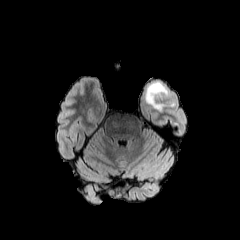
FLAIR MR image.
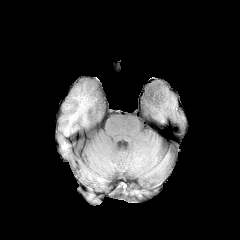
T1-weighted magnetic resonance.
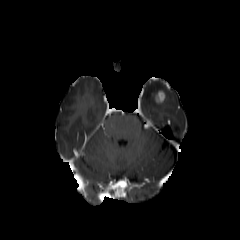
Post-contrast T1-weighted MR.
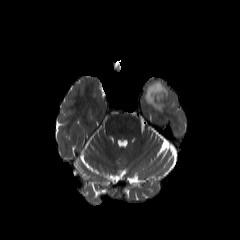
T2-weighted magnetic resonance.
Head
Findings:
- peritumoral edema: (144, 81, 175, 111)
- enhancing tumor: (154, 90, 165, 104)